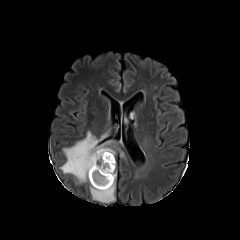
FLAIR magnetic resonance.
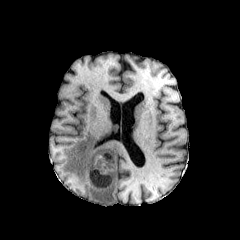
T1-weighted MR.
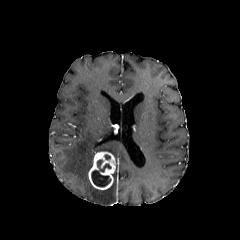
Same slice, post-contrast T1-weighted magnetic resonance.
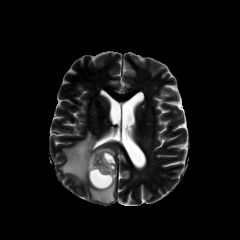
T2-weighted MR.
Brain.
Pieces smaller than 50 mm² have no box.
Annotated regions:
* necrotic tumor core: <box>91,160,111,186</box>
* peritumoral edema: <box>90,173,116,203</box>, <box>60,131,125,183</box>
* enhancing tumor: <box>88,151,115,190</box>